FLAIR MRI.
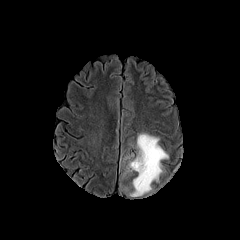
T1-weighted MRI.
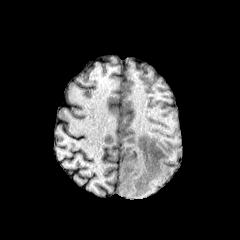
Post-contrast T1-weighted MR image.
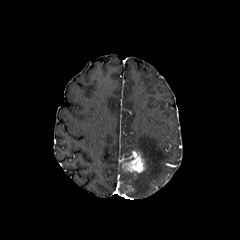
T2-weighted MR.
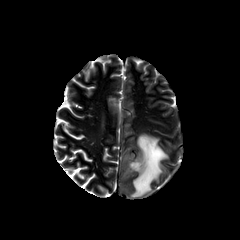
Brain
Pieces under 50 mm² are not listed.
The largest peritumoral edema region lies within x1=130, y1=133, x2=168, y2=196. The enhancing tumor lies within x1=120, y1=151, x2=145, y2=173.